FLAIR MR image.
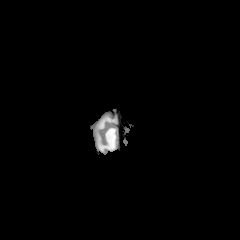
T1-weighted MR.
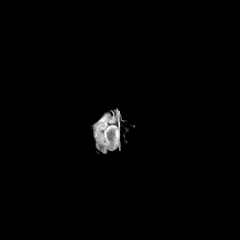
Post-contrast T1-weighted MR image.
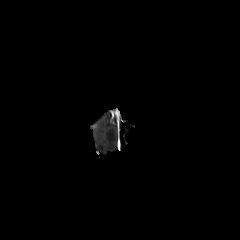
T2-weighted MR.
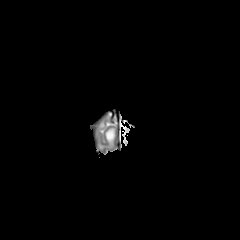
Axial view; Head
{"peritumoral_edema": ["region(96, 128, 115, 152)", "region(98, 116, 115, 129)"]}